FLAIR MR.
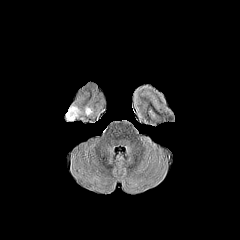
T1-weighted magnetic resonance.
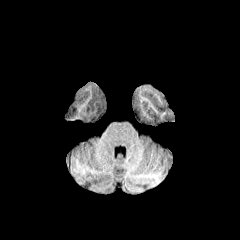
Post-contrast T1-weighted MR.
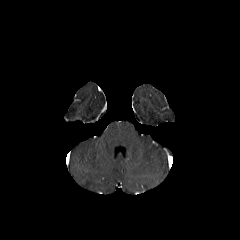
T2-weighted MR.
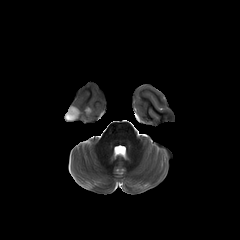
Brain. Axial plane.
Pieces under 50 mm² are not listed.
Findings:
• peritumoral edema: {"x1": 67, "y1": 105, "x2": 80, "y2": 119}